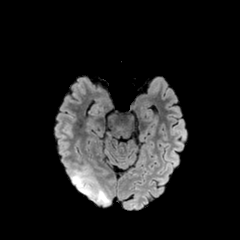
FLAIR MRI.
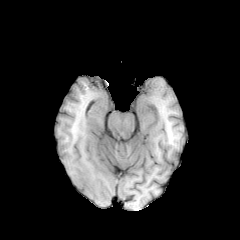
T1-weighted magnetic resonance.
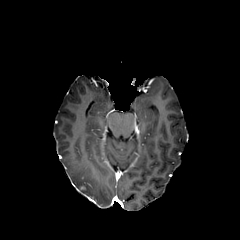
Post-contrast T1-weighted MR image.
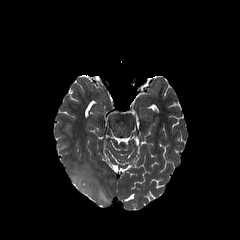
Same slice, T2-weighted MRI.
Head.
peritumoral edema: box=[69, 168, 109, 205]